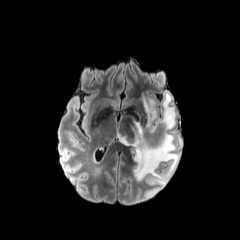
FLAIR MR.
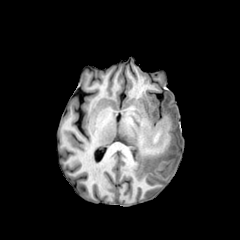
T1-weighted MR of the same slice.
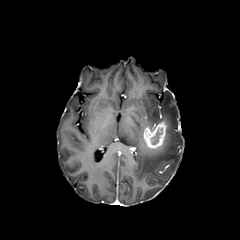
Post-contrast T1-weighted MR image of the same slice.
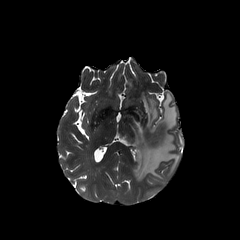
T2-weighted magnetic resonance.
Axial plane.
The enhancing tumor is bounded by bbox=[143, 121, 166, 149]. The necrotic tumor core lies within bbox=[152, 131, 161, 144]. The peritumoral edema is at bbox=[120, 92, 181, 185].